FLAIR magnetic resonance.
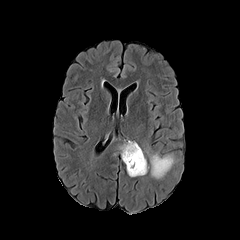
T1-weighted MR.
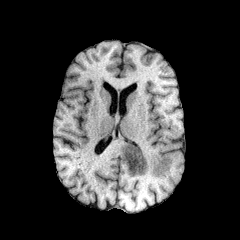
Post-contrast T1-weighted MR.
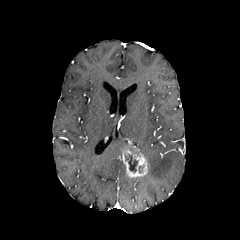
T2-weighted MR image.
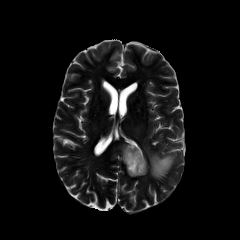
Brain.
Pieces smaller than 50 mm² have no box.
The largest peritumoral edema region is at l=146, t=149, r=174, b=178. The largest necrotic tumor core region appears at l=125, t=155, r=137, b=172. The largest enhancing tumor region appears at l=122, t=143, r=148, b=177.